FLAIR MR.
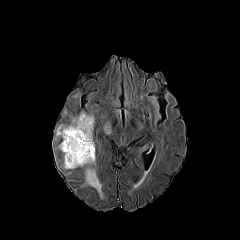
T1-weighted magnetic resonance.
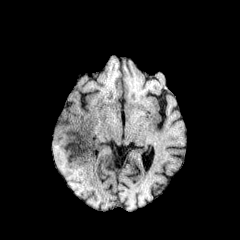
Post-contrast T1-weighted MR image.
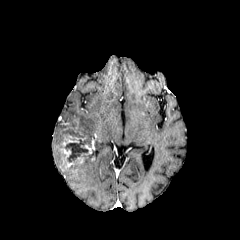
T2-weighted magnetic resonance.
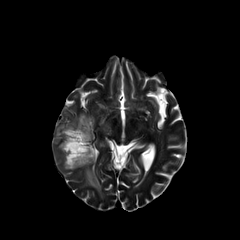
Head | Axial plane
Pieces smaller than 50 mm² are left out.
<segmentation>
  <peritumoral_edema>bbox=[55, 112, 94, 141]; bbox=[63, 150, 103, 198]</peritumoral_edema>
  <necrotic_tumor_core>bbox=[70, 131, 84, 137]; bbox=[64, 139, 91, 162]</necrotic_tumor_core>
  <enhancing_tumor>bbox=[62, 130, 87, 146]; bbox=[62, 140, 94, 166]</enhancing_tumor>
</segmentation>